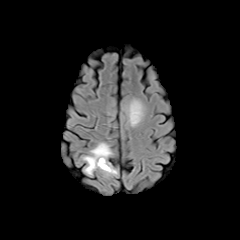
FLAIR MRI.
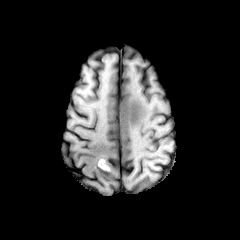
T1-weighted magnetic resonance of the same slice.
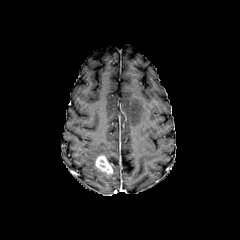
Post-contrast T1-weighted magnetic resonance.
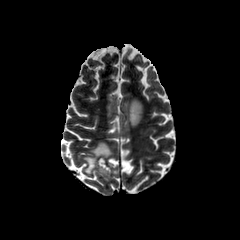
T2-weighted magnetic resonance.
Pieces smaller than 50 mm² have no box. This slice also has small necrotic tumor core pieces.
enhancing tumor: [95, 155, 112, 174] | peritumoral edema: [125, 99, 143, 126], [83, 142, 112, 174]